Brain | Image size 240x240
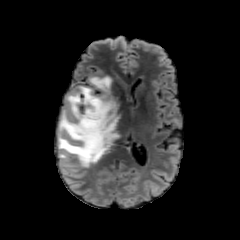
FLAIR MR image.
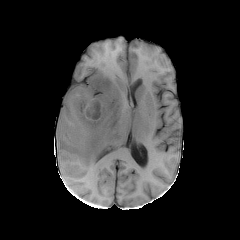
T1-weighted MR.
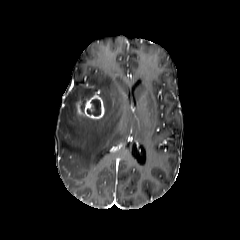
Post-contrast T1-weighted MRI of the same slice.
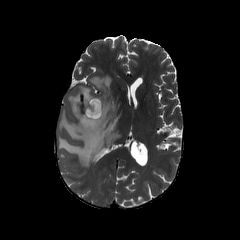
T2-weighted magnetic resonance.
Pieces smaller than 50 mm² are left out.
enhancing_tumor:
  - [75, 95, 104, 119]
peritumoral_edema:
  - [58, 76, 121, 167]
necrotic_tumor_core:
  - [87, 99, 100, 115]